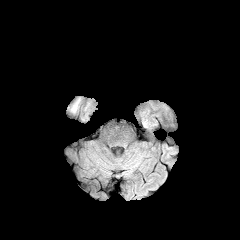
FLAIR MRI.
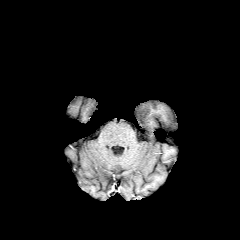
T1-weighted MRI.
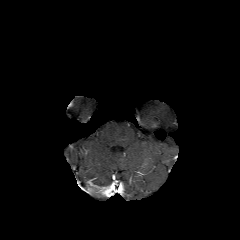
Same slice, post-contrast T1-weighted MR image.
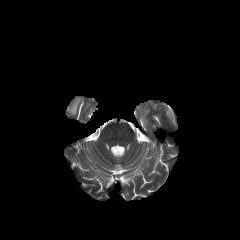
T2-weighted MRI of the same slice.
Head | Axial slice
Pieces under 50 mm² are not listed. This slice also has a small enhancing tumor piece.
peritumoral edema = [70, 98, 80, 113]